FLAIR MR image.
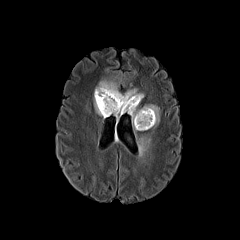
T1-weighted MRI.
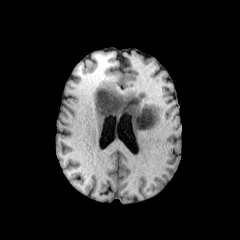
Post-contrast T1-weighted magnetic resonance.
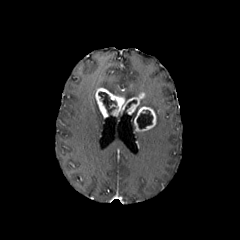
T2-weighted magnetic resonance.
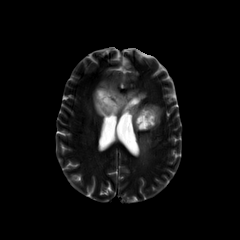
Brain, 240x240
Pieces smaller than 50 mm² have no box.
enhancing_tumor:
  - bbox=[134, 106, 156, 131]
  - bbox=[95, 88, 144, 117]
necrotic_tumor_core:
  - bbox=[137, 110, 152, 128]
  - bbox=[98, 92, 116, 115]
  - bbox=[124, 100, 136, 112]
peritumoral_edema:
  - bbox=[145, 104, 160, 126]
  - bbox=[139, 136, 150, 155]
  - bbox=[94, 79, 140, 115]